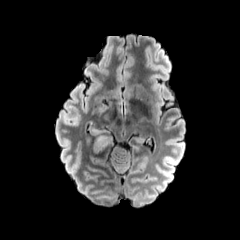
FLAIR MR.
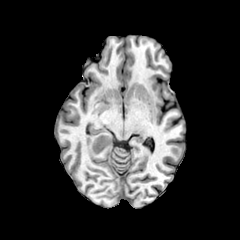
Same slice, T1-weighted MR.
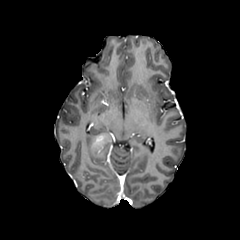
Post-contrast T1-weighted magnetic resonance.
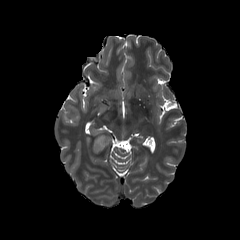
T2-weighted magnetic resonance.
Image size 240x240
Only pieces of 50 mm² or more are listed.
The largest peritumoral edema region is bounded by x1=89 y1=128 x2=113 y2=154. The enhancing tumor is located at x1=92 y1=135 x2=105 y2=148.